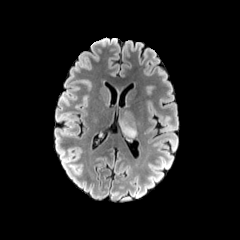
FLAIR MRI.
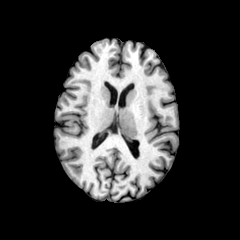
T1-weighted MR of the same slice.
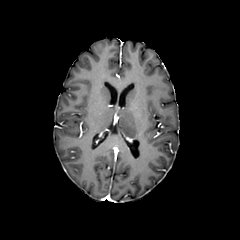
Post-contrast T1-weighted MR image.
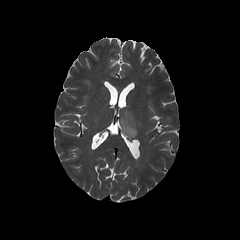
T2-weighted MRI.
Axial plane | Brain
peritumoral edema: [x1=119, y1=111, x2=136, y2=137]